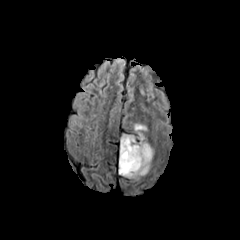
FLAIR MR.
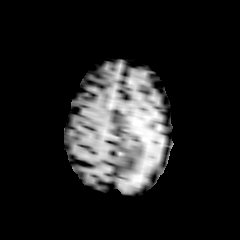
Same slice, T1-weighted MR image.
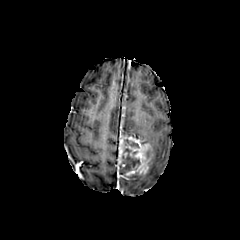
Post-contrast T1-weighted MRI of the same slice.
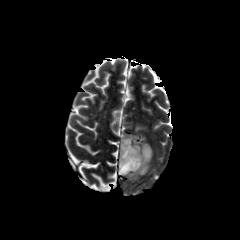
T2-weighted MRI of the same slice.
Head; 240x240
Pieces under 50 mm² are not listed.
necrotic tumor core — x1=121, y1=148, x2=140, y2=173; x1=124, y1=139, x2=139, y2=147
peritumoral edema — x1=134, y1=124, x2=146, y2=131
enhancing tumor — x1=118, y1=136, x2=153, y2=179